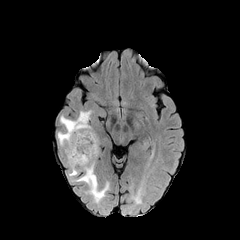
FLAIR MRI.
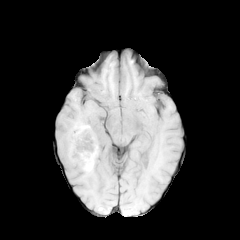
T1-weighted MRI.
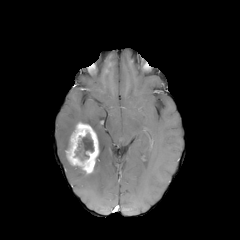
Post-contrast T1-weighted magnetic resonance of the same slice.
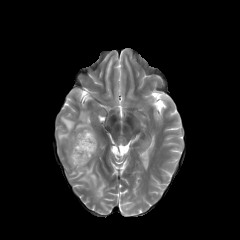
T2-weighted MRI.
Axial plane | 240x240 px | Brain
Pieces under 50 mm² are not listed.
peritumoral_edema:
  - x1=67 y1=159 x2=108 y2=202
  - x1=57 y1=110 x2=91 y2=150
necrotic_tumor_core:
  - x1=76 y1=134 x2=93 y2=160
enhancing_tumor:
  - x1=65 y1=122 x2=98 y2=173